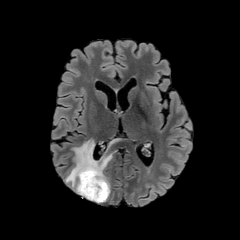
FLAIR MR image.
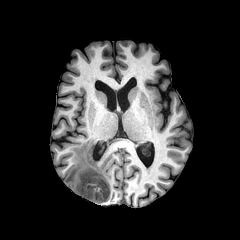
T1-weighted magnetic resonance.
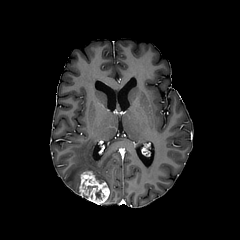
Post-contrast T1-weighted MR image of the same slice.
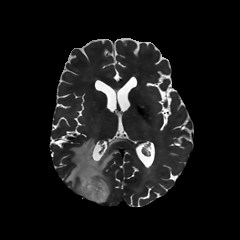
Same slice, T2-weighted MRI.
Image size 240x240
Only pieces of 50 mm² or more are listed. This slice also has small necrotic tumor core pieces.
Segmented structures:
* peritumoral edema: region(64, 139, 113, 194)
* enhancing tumor: region(79, 170, 109, 204)